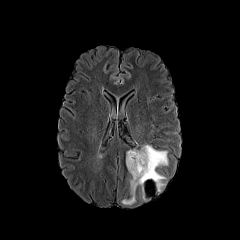
FLAIR MRI.
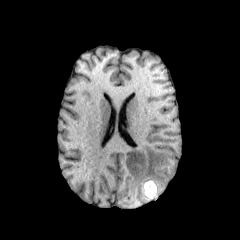
T1-weighted MR of the same slice.
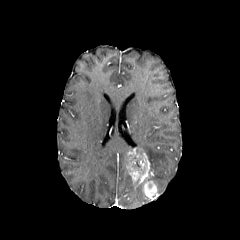
Same slice, post-contrast T1-weighted magnetic resonance.
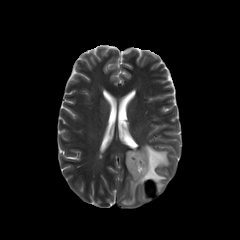
Same slice, T2-weighted MRI.
Head
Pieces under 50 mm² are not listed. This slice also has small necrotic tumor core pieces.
enhancing tumor — (126,150,154,184)
peritumoral edema — (121,179,144,205), (140,144,168,192)